Axial plane.
FLAIR MR.
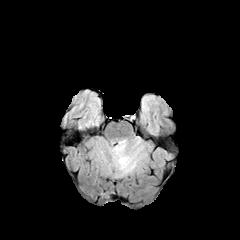
T1-weighted MR image.
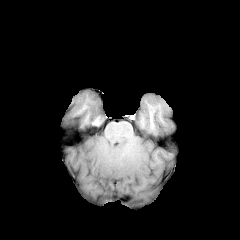
Post-contrast T1-weighted MR.
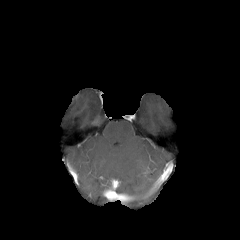
T2-weighted MR image.
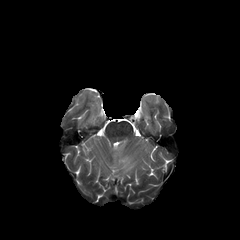
peritumoral edema: bounding box 110 139 146 177